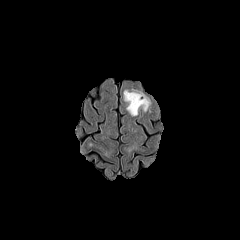
FLAIR MR image.
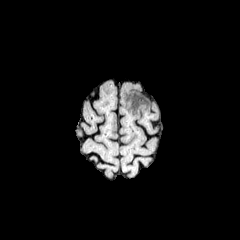
T1-weighted MRI.
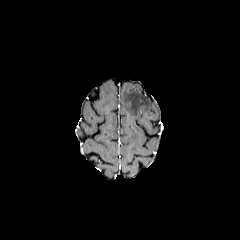
Post-contrast T1-weighted MR.
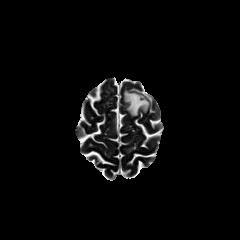
T2-weighted MRI.
240x240 px
The peritumoral edema is at x1=123 y1=89 x2=150 y2=116.